FLAIR MR image.
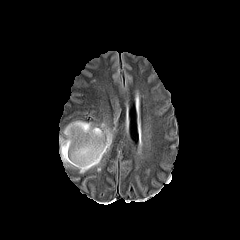
T1-weighted MRI.
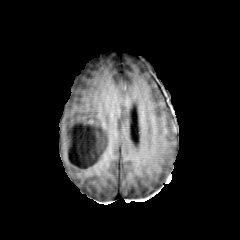
Post-contrast T1-weighted magnetic resonance.
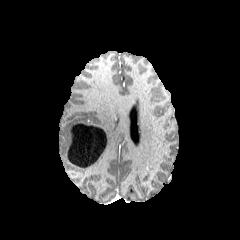
T2-weighted MRI.
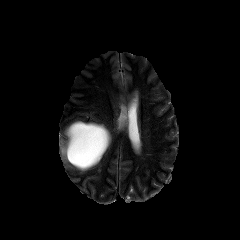
Brain, Axial plane, 240x240
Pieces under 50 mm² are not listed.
<segmentation>
  <necrotic_tumor_core>67 123 107 167</necrotic_tumor_core>
  <peritumoral_edema>59 120 113 173</peritumoral_edema>
</segmentation>